Head. 240x240 px. Axial view. Image width 240 mm, 1.00 mm slice spacing.
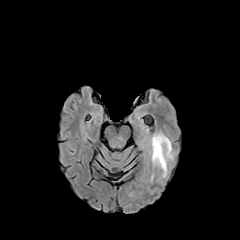
FLAIR magnetic resonance.
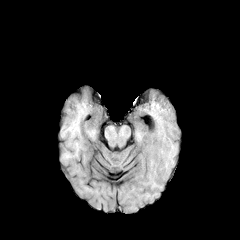
Same slice, T1-weighted MR.
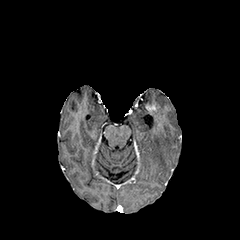
Post-contrast T1-weighted MRI.
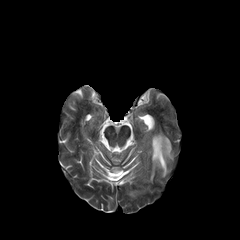
T2-weighted MR.
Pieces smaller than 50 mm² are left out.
Findings:
- peritumoral edema: (151,132,172,176)